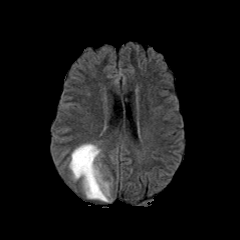
FLAIR MR.
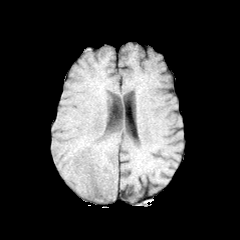
Same slice, T1-weighted MRI.
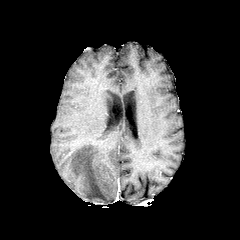
Post-contrast T1-weighted MR image.
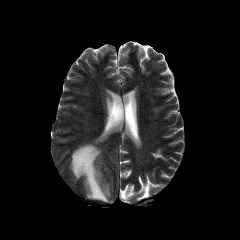
T2-weighted MR image of the same slice.
peritumoral edema at 69, 143, 110, 201